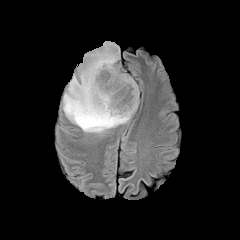
FLAIR MRI.
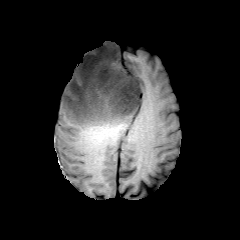
Same slice, T1-weighted MR image.
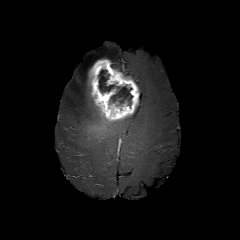
Same slice, post-contrast T1-weighted MR.
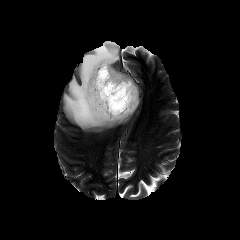
T2-weighted MR.
Axial view | 240x240 | Head
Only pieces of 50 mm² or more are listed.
{
  "necrotic_tumor_core": [
    "(left=110, top=86, right=132, bottom=105)",
    "(left=98, top=69, right=114, bottom=92)"
  ],
  "enhancing_tumor": [
    "(left=88, top=59, right=139, bottom=121)"
  ],
  "peritumoral_edema": [
    "(left=63, top=42, right=131, bottom=132)"
  ]
}